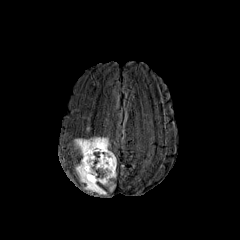
FLAIR MR.
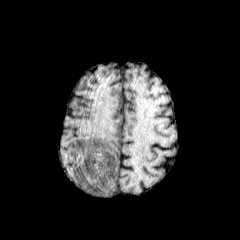
T1-weighted MR image of the same slice.
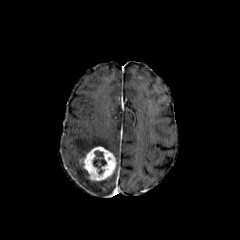
Post-contrast T1-weighted magnetic resonance of the same slice.
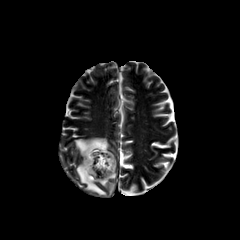
T2-weighted MR.
Brain. Image size 240x240.
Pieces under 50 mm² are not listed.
{
  "necrotic_tumor_core": [
    "93 151 106 174"
  ],
  "enhancing_tumor": [
    "82 146 116 181"
  ],
  "peritumoral_edema": [
    "75 159 106 194",
    "99 169 116 191",
    "74 137 109 158"
  ]
}